FLAIR MR image.
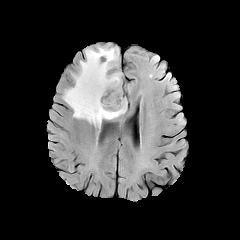
T1-weighted magnetic resonance.
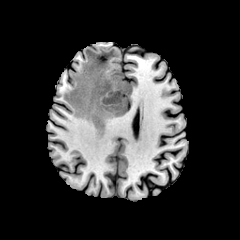
Post-contrast T1-weighted magnetic resonance.
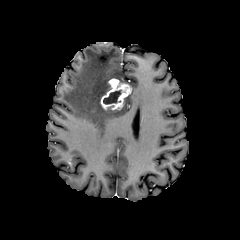
T2-weighted MRI.
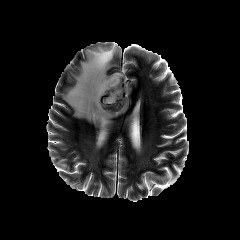
Image size 240x240; Head
necrotic tumor core: 103,90,120,104
peritumoral edema: 63,46,127,128
enhancing tumor: 100,78,131,110